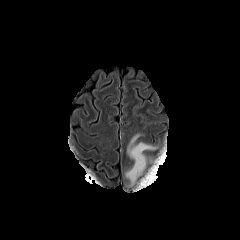
FLAIR MRI.
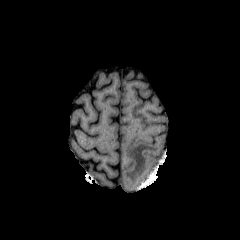
T1-weighted MR image of the same slice.
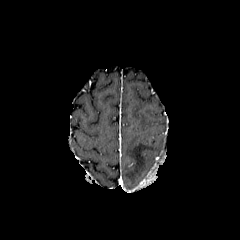
Same slice, post-contrast T1-weighted MR image.
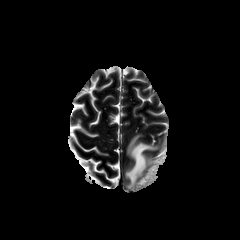
T2-weighted MR image.
Brain
{"peritumoral_edema": ["(left=125, top=133, right=159, bottom=185)"]}